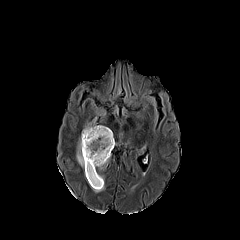
FLAIR magnetic resonance.
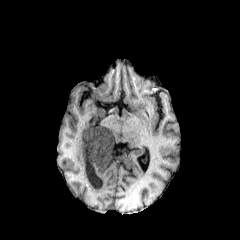
T1-weighted MR.
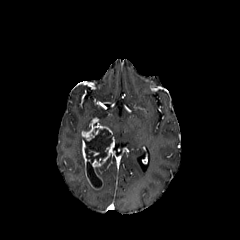
Post-contrast T1-weighted magnetic resonance of the same slice.
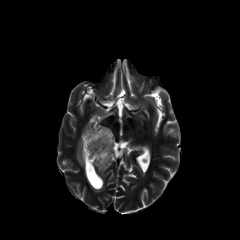
T2-weighted magnetic resonance.
Image size 240x240. Axial slice.
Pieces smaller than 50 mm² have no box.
The largest enhancing tumor region is at (x1=81, y1=122, x2=114, y2=189). The largest necrotic tumor core region appears at (x1=84, y1=129, x2=112, y2=187). The 2 largest peritumoral edema regions appear at (x1=76, y1=135, x2=84, y2=168), (x1=93, y1=175, x2=104, y2=192).